Slice 67/155, 240x240, Image covers 240 mm x 240 mm, Brain
FLAIR MR image.
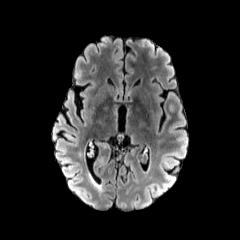
T1-weighted MRI.
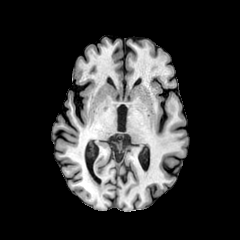
Post-contrast T1-weighted MRI.
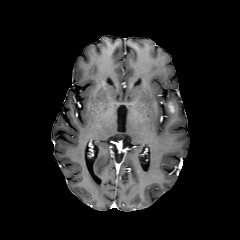
T2-weighted MR.
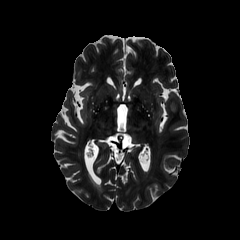
The enhancing tumor is located at x1=167 y1=102 x2=174 y2=112.